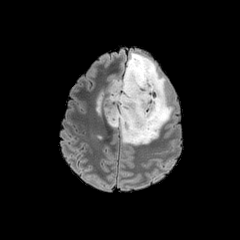
FLAIR MR image.
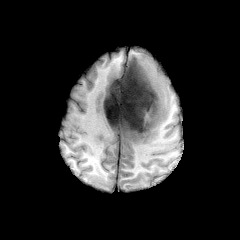
T1-weighted magnetic resonance.
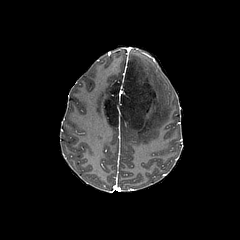
Same slice, post-contrast T1-weighted magnetic resonance.
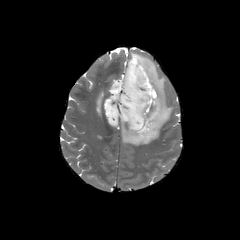
T2-weighted MR of the same slice.
Head.
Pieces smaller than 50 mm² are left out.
necrotic tumor core: x1=104, y1=60, x2=155, y2=132 | peritumoral edema: x1=120, y1=52, x2=173, y2=145; x1=96, y1=93, x2=102, y2=113